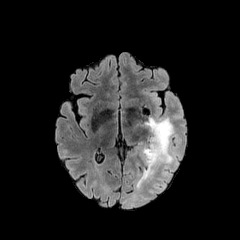
FLAIR magnetic resonance.
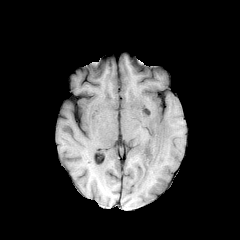
Same slice, T1-weighted magnetic resonance.
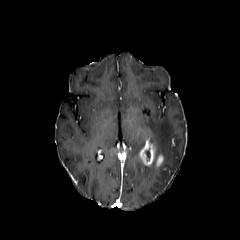
Post-contrast T1-weighted MR image of the same slice.
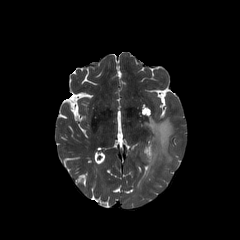
T2-weighted MR image.
240x240 px
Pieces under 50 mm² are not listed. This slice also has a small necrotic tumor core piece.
Findings:
• peritumoral edema: {"x1": 135, "y1": 117, "x2": 180, "y2": 191}
• enhancing tumor: {"x1": 139, "y1": 138, "x2": 164, "y2": 166}